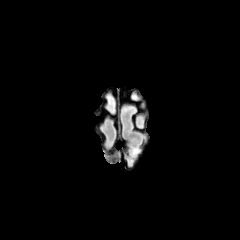
FLAIR MR.
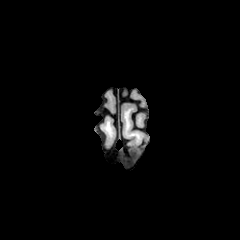
Same slice, T1-weighted MR.
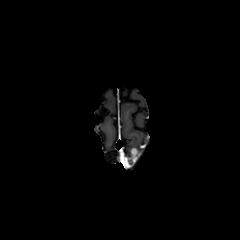
Post-contrast T1-weighted MRI of the same slice.
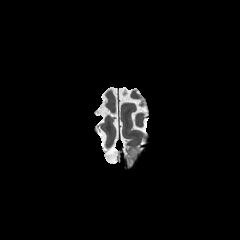
T2-weighted magnetic resonance.
Axial plane
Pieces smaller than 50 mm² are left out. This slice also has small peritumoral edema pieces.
Annotated regions:
* enhancing tumor: [x1=127, y1=148, x2=139, y2=165]